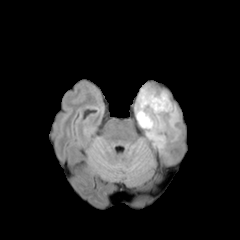
FLAIR MR.
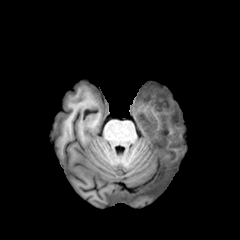
Same slice, T1-weighted MRI.
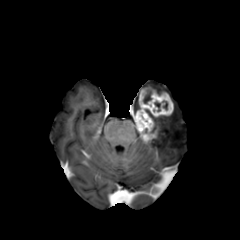
Same slice, post-contrast T1-weighted MRI.
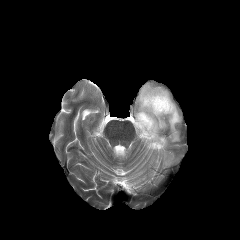
T2-weighted MR.
Head
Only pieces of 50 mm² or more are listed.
peritumoral edema = [135,95,139,114], [145,104,180,150]
necrotic tumor core = [143,91,151,103]
enhancing tumor = [135,86,173,141]